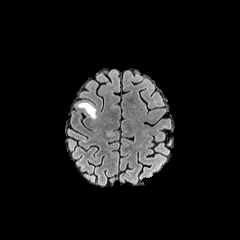
FLAIR MR image.
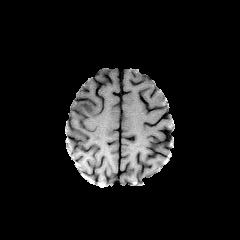
Same slice, T1-weighted MR image.
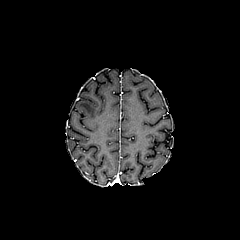
Post-contrast T1-weighted MRI of the same slice.
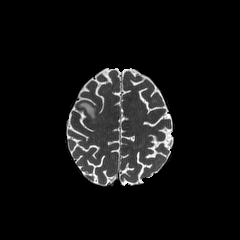
T2-weighted MRI of the same slice.
Head
peritumoral_edema:
  - 78 102 95 118